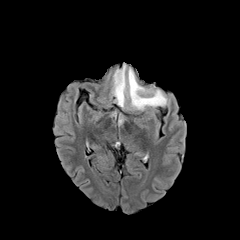
FLAIR MR image.
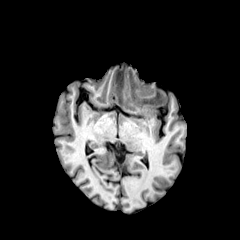
T1-weighted MR.
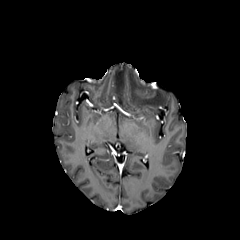
Same slice, post-contrast T1-weighted MRI.
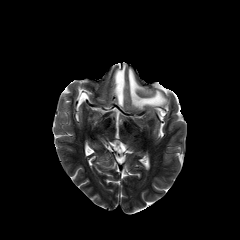
Same slice, T2-weighted MR image.
Head
peritumoral edema = bbox=[112, 65, 167, 109]